Head; Image width 240 mm, 1.00 mm slice spacing; Slice 46 of 155
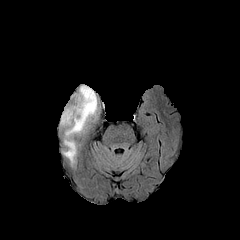
FLAIR MR image.
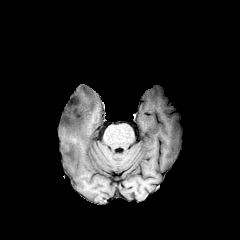
T1-weighted magnetic resonance.
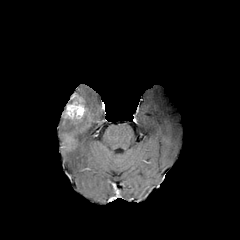
Same slice, post-contrast T1-weighted MR image.
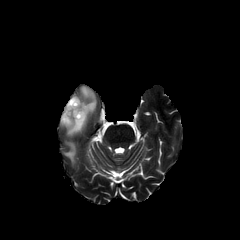
T2-weighted MR.
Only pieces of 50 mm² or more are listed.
The enhancing tumor appears at box=[62, 93, 88, 127]. The largest peritumoral edema region is at box=[60, 84, 98, 166].